Slice 73/155 | Axial slice | Head
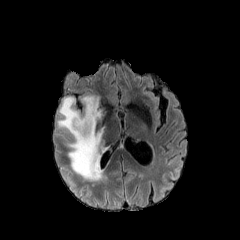
FLAIR MR image.
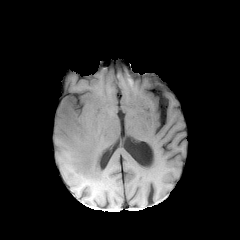
Same slice, T1-weighted MRI.
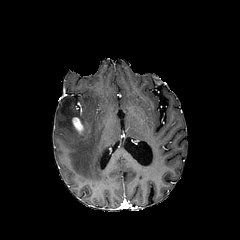
Post-contrast T1-weighted MR of the same slice.
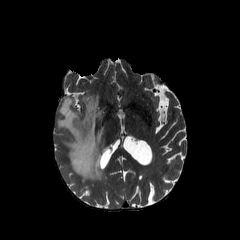
Same slice, T2-weighted MR image.
enhancing tumor: region(72, 117, 86, 135) | peritumoral edema: region(57, 95, 108, 180)